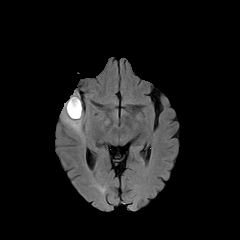
FLAIR MR image.
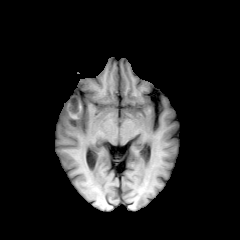
Same slice, T1-weighted MR.
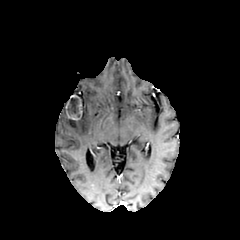
Post-contrast T1-weighted MRI.
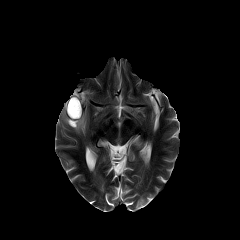
T2-weighted MR of the same slice.
Axial slice.
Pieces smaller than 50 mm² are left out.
Findings:
* necrotic tumor core: (left=67, top=98, right=80, bottom=117)
* enhancing tumor: (left=65, top=99, right=79, bottom=120)
* peritumoral edema: (left=61, top=101, right=84, bottom=134)